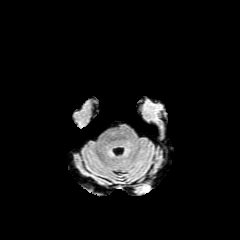
FLAIR MR.
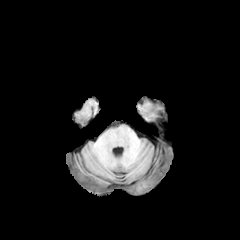
T1-weighted MR image of the same slice.
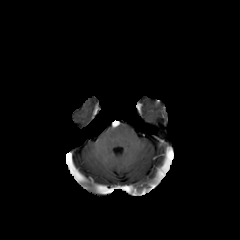
Post-contrast T1-weighted MR of the same slice.
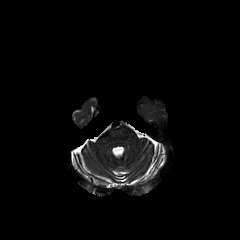
T2-weighted MR of the same slice.
Head
enhancing tumor at bbox=[140, 187, 151, 194]